Image size 240x240; Head; Slice 78/155
FLAIR MRI.
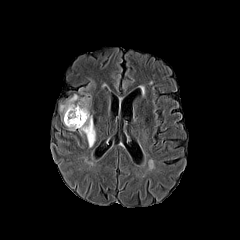
T1-weighted MR image.
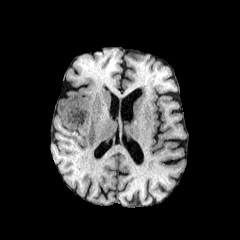
Post-contrast T1-weighted MR.
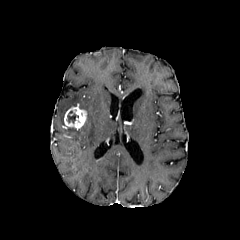
T2-weighted MRI.
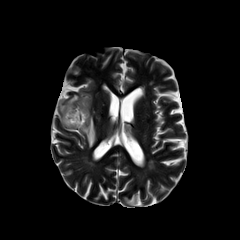
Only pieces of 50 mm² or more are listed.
{"peritumoral_edema": ["(59, 85, 95, 147)"], "necrotic_tumor_core": ["(67, 111, 78, 123)"], "enhancing_tumor": ["(64, 104, 86, 129)"]}